Image size 240x240. Head.
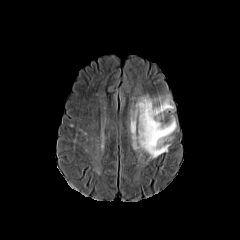
FLAIR MRI.
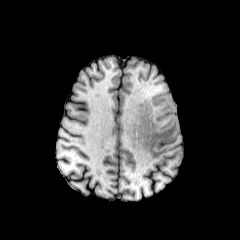
T1-weighted MR image of the same slice.
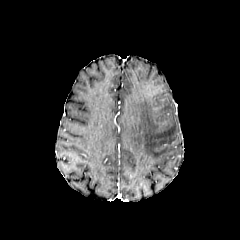
Post-contrast T1-weighted MRI.
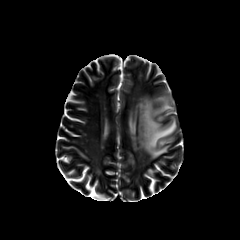
T2-weighted MRI.
peritumoral edema — (130, 95, 176, 158)